Head | Axial plane
FLAIR MR image.
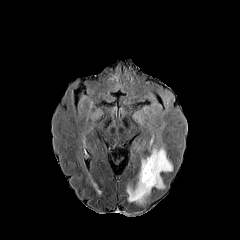
T1-weighted MRI.
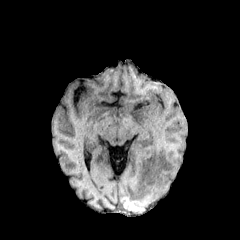
Post-contrast T1-weighted MR.
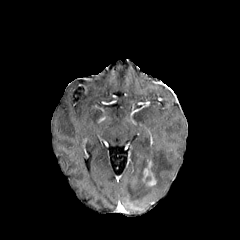
T2-weighted MRI.
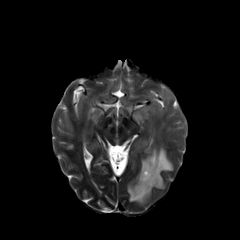
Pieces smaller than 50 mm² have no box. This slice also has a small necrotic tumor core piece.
enhancing tumor: 142,159,156,186 | peritumoral edema: 127,84,173,203